FLAIR magnetic resonance.
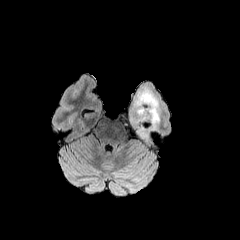
T1-weighted MR.
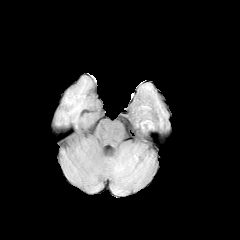
Post-contrast T1-weighted MR image.
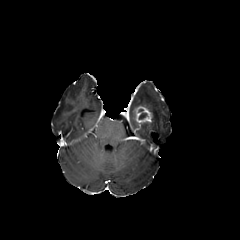
T2-weighted magnetic resonance.
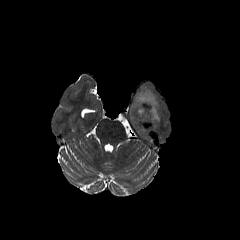
240x240. Brain. Axial slice.
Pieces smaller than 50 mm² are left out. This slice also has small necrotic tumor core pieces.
<segmentation>
  <peritumoral_edema>left=138, top=128, right=147, bottom=137; left=132, top=87, right=159, bottom=128</peritumoral_edema>
  <enhancing_tumor>left=134, top=104, right=154, bottom=125</enhancing_tumor>
</segmentation>